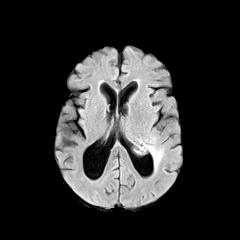
FLAIR MR image.
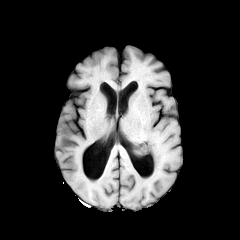
T1-weighted magnetic resonance.
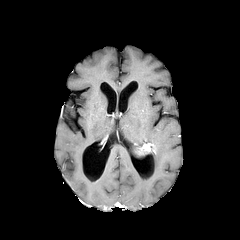
Post-contrast T1-weighted MR of the same slice.
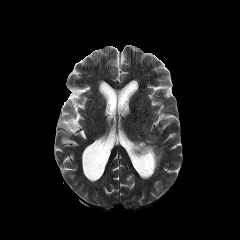
T2-weighted magnetic resonance of the same slice.
Head, 240x240
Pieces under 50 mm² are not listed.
enhancing tumor: 138,143,155,153
peritumoral edema: 145,134,163,170